Image width 240 mm, 1.00 mm slice spacing. Brain.
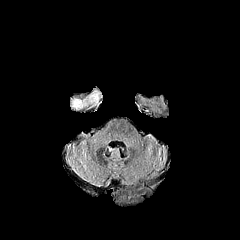
FLAIR MRI.
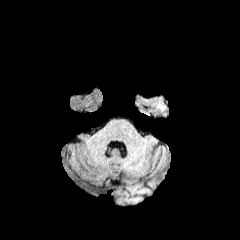
T1-weighted MR image.
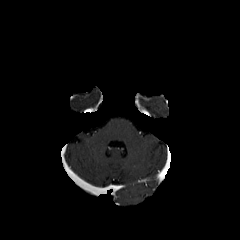
Post-contrast T1-weighted MR image.
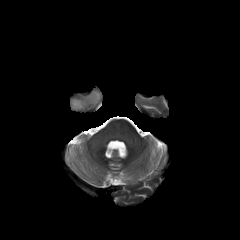
T2-weighted MR image.
peritumoral edema: box(88, 91, 99, 104); box(72, 99, 87, 108)